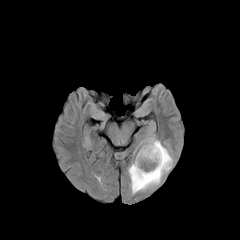
FLAIR MR image.
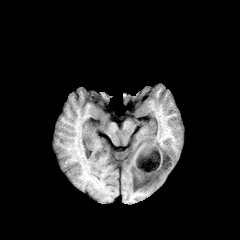
T1-weighted MRI.
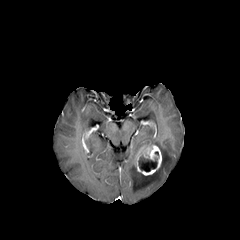
Post-contrast T1-weighted MR of the same slice.
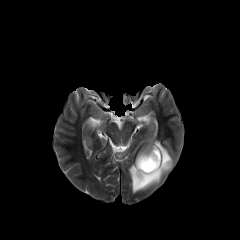
T2-weighted MR.
240x240, Brain, Axial plane
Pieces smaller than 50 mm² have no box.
The peritumoral edema appears at x1=128 y1=134 x2=173 y2=194. The largest necrotic tumor core region lies within x1=138 y1=155 x2=157 y2=171. The enhancing tumor is located at x1=135 y1=145 x2=162 y2=175.